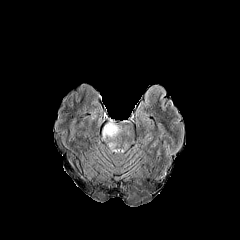
FLAIR MR image.
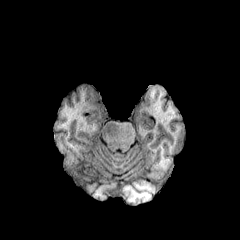
T1-weighted MRI.
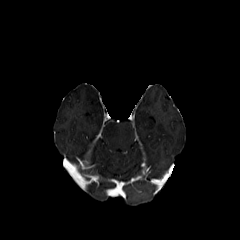
Same slice, post-contrast T1-weighted MR.
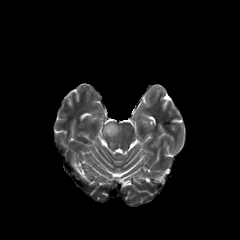
Same slice, T2-weighted magnetic resonance.
Axial view, 240x240 px
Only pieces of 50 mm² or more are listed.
peritumoral_edema:
  - x1=103 y1=122 x2=120 y2=138